240x240 px, Image width 240 mm, 1.00 mm slice spacing
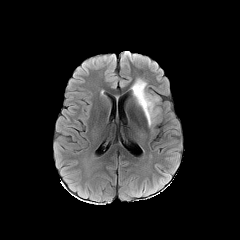
FLAIR MRI.
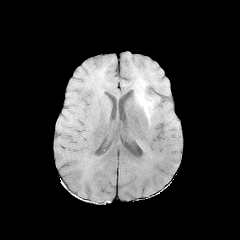
T1-weighted MR image.
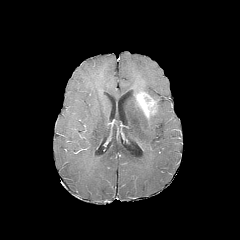
Post-contrast T1-weighted MRI of the same slice.
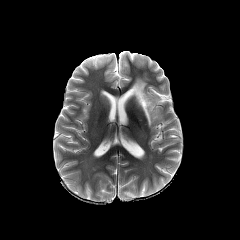
Same slice, T2-weighted magnetic resonance.
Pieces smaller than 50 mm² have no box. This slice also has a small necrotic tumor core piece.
Segmented structures:
• enhancing tumor: <box>136,91,156,118</box>
• peritumoral edema: <box>131,79,146,97</box>, <box>147,107,159,126</box>